240x240
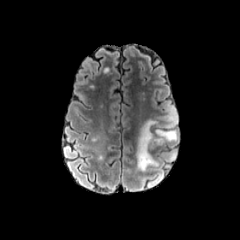
FLAIR MR.
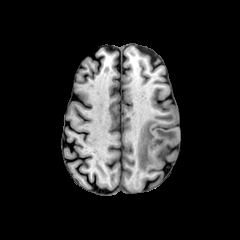
T1-weighted MR image.
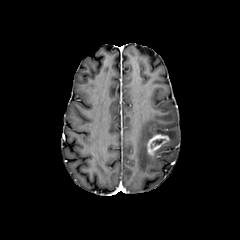
Post-contrast T1-weighted MR image.
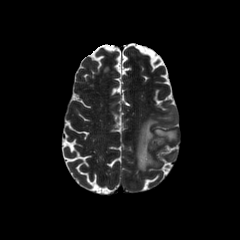
T2-weighted MR image of the same slice.
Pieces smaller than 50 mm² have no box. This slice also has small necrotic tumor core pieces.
{"peritumoral_edema": ["(x1=136, y1=104, x2=178, y2=170)"], "enhancing_tumor": ["(x1=146, y1=134, x2=169, y2=155)"]}